FLAIR MR image.
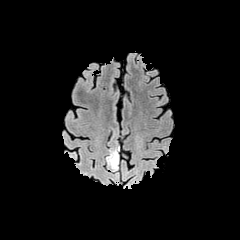
T1-weighted MRI.
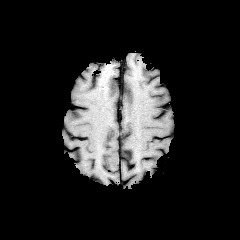
Post-contrast T1-weighted MRI.
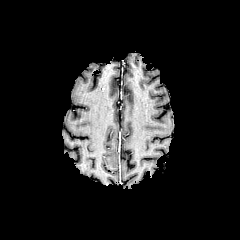
T2-weighted MR image.
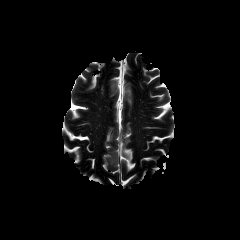
Head.
The peritumoral edema appears at [x1=105, y1=153, x2=118, y2=169].